Slice index 107 | Axial plane | Image width 240 mm
FLAIR MR image.
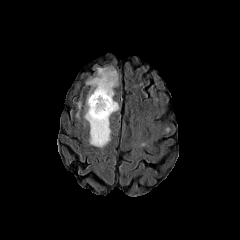
T1-weighted MR.
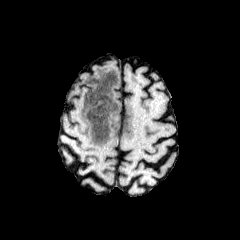
Post-contrast T1-weighted MR image.
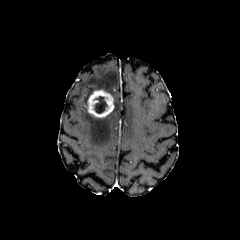
T2-weighted MRI.
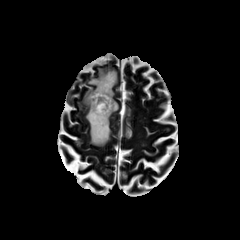
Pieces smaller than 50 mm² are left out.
peritumoral edema = l=84, t=101, r=118, b=147; l=86, t=66, r=118, b=98
enhancing tumor = l=86, t=89, r=114, b=118
necrotic tumor core = l=94, t=96, r=107, b=113